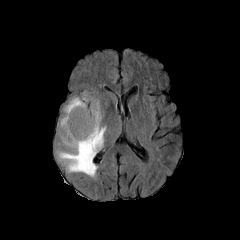
FLAIR magnetic resonance.
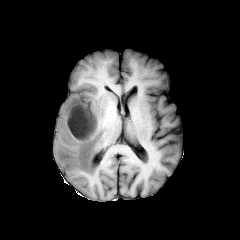
T1-weighted magnetic resonance of the same slice.
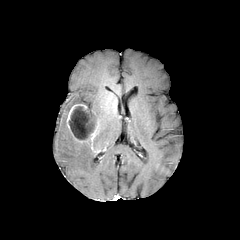
Same slice, post-contrast T1-weighted MRI.
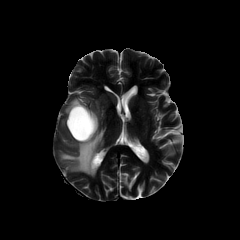
T2-weighted magnetic resonance.
240x240 px. Axial slice. Brain.
<segmentation>
  <necrotic_tumor_core>(69,106,95,139)</necrotic_tumor_core>
  <enhancing_tumor>(67,104,97,142)</enhancing_tumor>
  <peritumoral_edema>(57,97,106,177)</peritumoral_edema>
</segmentation>